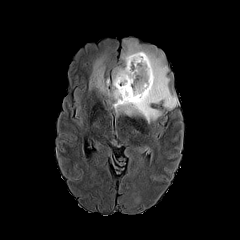
FLAIR magnetic resonance.
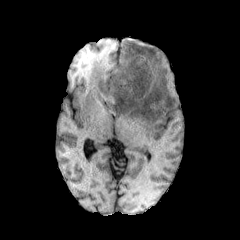
T1-weighted MR.
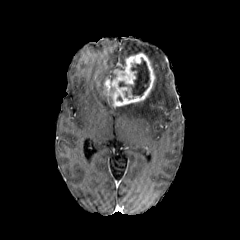
Post-contrast T1-weighted MR.
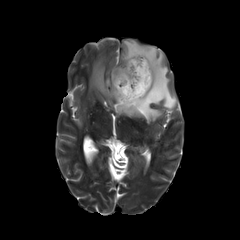
Same slice, T2-weighted magnetic resonance.
Brain; 240x240
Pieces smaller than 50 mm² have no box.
enhancing_tumor:
  - region(103, 52, 155, 107)
peritumoral_edema:
  - region(88, 52, 111, 105)
  - region(111, 38, 178, 123)
necrotic_tumor_core:
  - region(118, 58, 150, 96)